Axial plane.
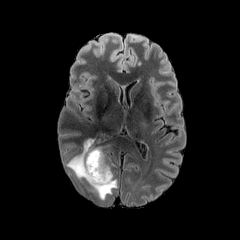
FLAIR MR image.
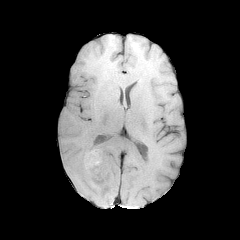
T1-weighted magnetic resonance of the same slice.
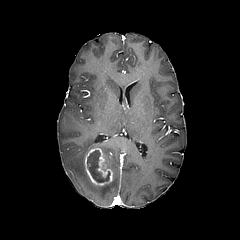
Post-contrast T1-weighted magnetic resonance of the same slice.
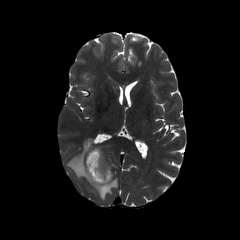
T2-weighted MR.
peritumoral edema: (66,139,117,199)
enhancing tumor: (84,147,113,187)
necrotic tumor core: (87,150,109,182)